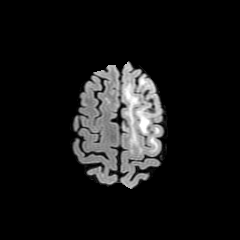
FLAIR MR.
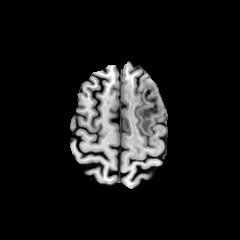
T1-weighted MR image of the same slice.
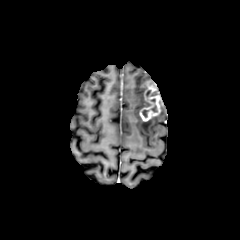
Post-contrast T1-weighted MRI of the same slice.
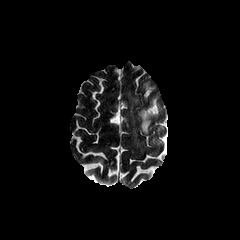
T2-weighted MR image.
Axial plane. 240x240.
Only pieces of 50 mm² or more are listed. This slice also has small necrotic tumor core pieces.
The 4 largest peritumoral edema regions are located at (left=149, top=136, right=158, bottom=149), (left=140, top=78, right=148, bottom=89), (left=135, top=101, right=151, bottom=134), (left=124, top=85, right=139, bottom=143). The enhancing tumor is at (left=139, top=81, right=161, bottom=121).